Slice index 102 | Axial slice
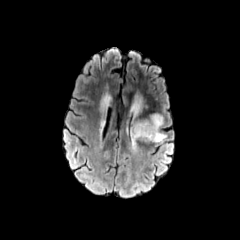
FLAIR MR.
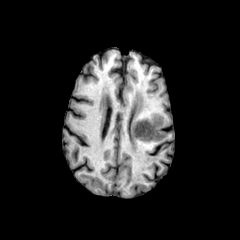
Same slice, T1-weighted magnetic resonance.
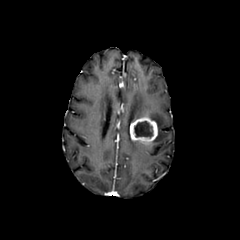
Post-contrast T1-weighted MR.
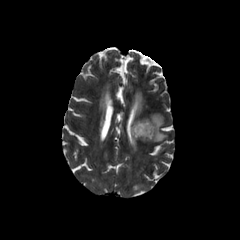
T2-weighted MRI of the same slice.
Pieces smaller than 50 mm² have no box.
<segmentation>
  <enhancing_tumor>(x1=130, y1=115, x2=157, y2=144)</enhancing_tumor>
  <necrotic_tumor_core>(x1=134, y1=121, x2=152, y2=137)</necrotic_tumor_core>
  <peritumoral_edema>(x1=149, y1=113, x2=166, y2=142), (x1=131, y1=96, x2=142, y2=122)</peritumoral_edema>
</segmentation>